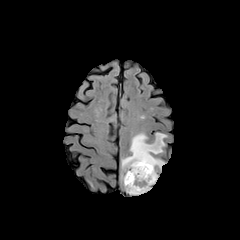
FLAIR MR image.
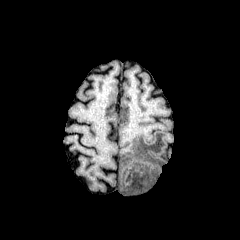
Same slice, T1-weighted MR.
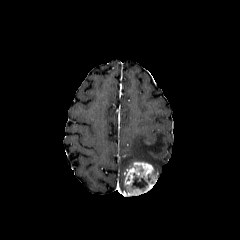
Post-contrast T1-weighted MR image of the same slice.
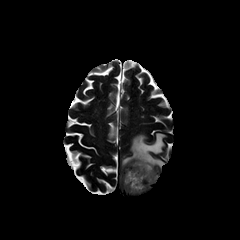
T2-weighted magnetic resonance.
Axial slice; Head
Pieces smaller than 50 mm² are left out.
The enhancing tumor lies within region(124, 161, 157, 195). The largest peritumoral edema region appears at region(121, 133, 167, 170). The largest necrotic tumor core region is located at region(132, 177, 147, 188).